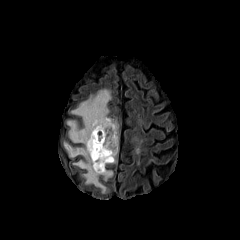
FLAIR MR.
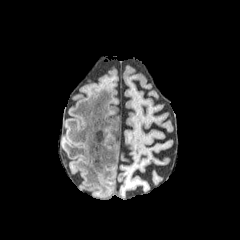
T1-weighted MR of the same slice.
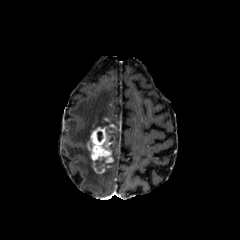
Same slice, post-contrast T1-weighted MR image.
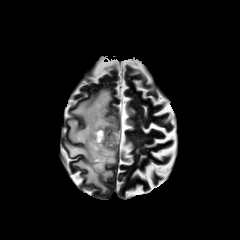
Same slice, T2-weighted MR.
240x240 px | Head | Axial slice
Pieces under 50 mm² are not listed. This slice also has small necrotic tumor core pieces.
Segmented structures:
- enhancing tumor: 87 117 119 173
- peritumoral edema: 64 89 113 193, 108 132 118 163